Image covers 240 mm x 240 mm | Image size 240x240
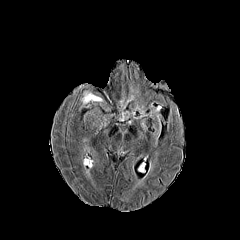
FLAIR magnetic resonance.
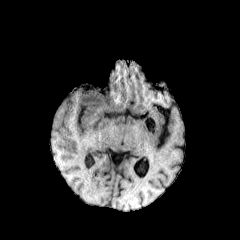
T1-weighted MR image.
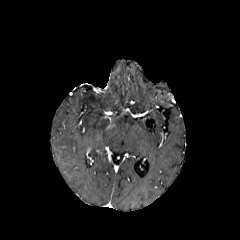
Post-contrast T1-weighted magnetic resonance.
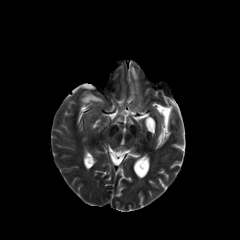
Same slice, T2-weighted magnetic resonance.
peritumoral edema: bounding box region(83, 93, 101, 103)